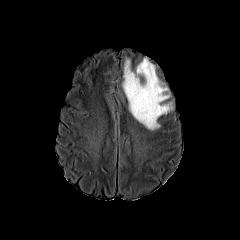
FLAIR magnetic resonance.
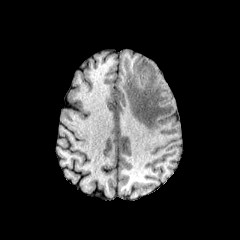
Same slice, T1-weighted magnetic resonance.
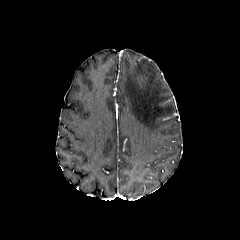
Post-contrast T1-weighted MRI.
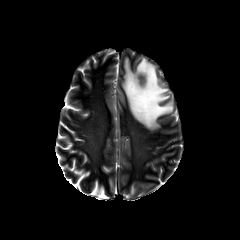
Same slice, T2-weighted MR.
peritumoral edema — box=[122, 58, 173, 130]